FLAIR magnetic resonance.
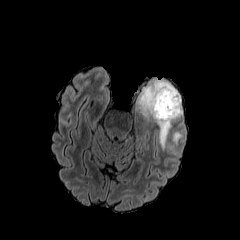
T1-weighted magnetic resonance.
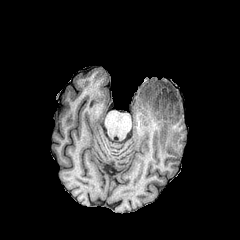
Post-contrast T1-weighted magnetic resonance.
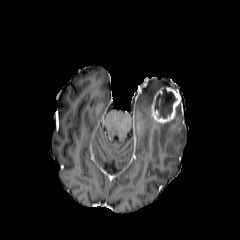
T2-weighted MRI.
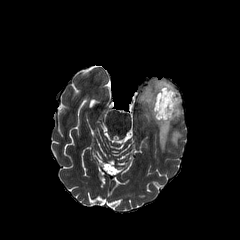
Axial plane | Head | 240x240 px
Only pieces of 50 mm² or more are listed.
The 3 largest peritumoral edema regions are bounded by 170, 131, 182, 144; 138, 79, 176, 117; 155, 104, 183, 150. The necrotic tumor core is at 155, 89, 176, 118. The largest enhancing tumor region appears at 151, 86, 181, 123.